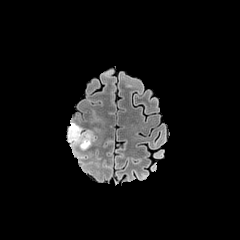
FLAIR MR image.
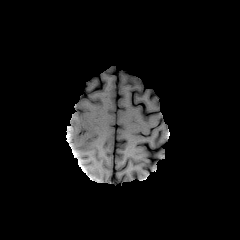
T1-weighted MRI.
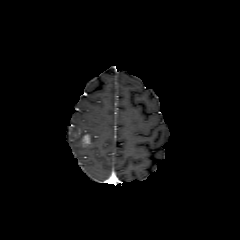
Same slice, post-contrast T1-weighted MR.
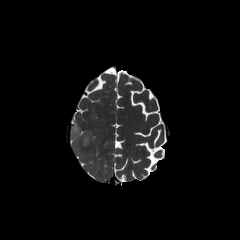
T2-weighted MR of the same slice.
Axial slice
peritumoral edema: box(68, 124, 93, 149) | enhancing tumor: box(83, 135, 89, 144)